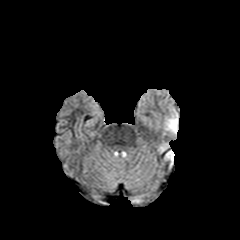
FLAIR magnetic resonance.
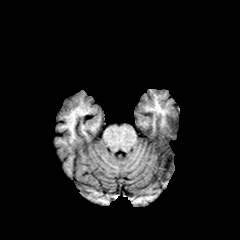
T1-weighted MR.
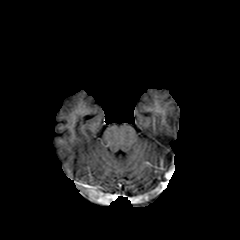
Post-contrast T1-weighted magnetic resonance.
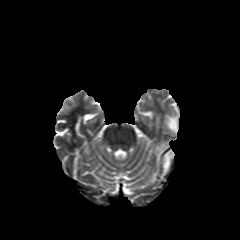
T2-weighted MRI.
Brain. 240x240 px.
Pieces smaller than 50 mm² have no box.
peritumoral edema: bounding box 165,150,173,159; 166,114,177,133